240x240 px, Axial plane
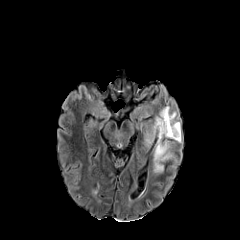
FLAIR MR.
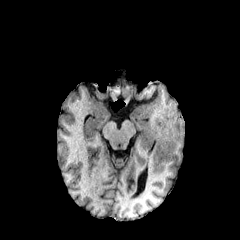
T1-weighted MR of the same slice.
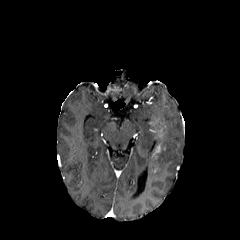
Post-contrast T1-weighted MR image.
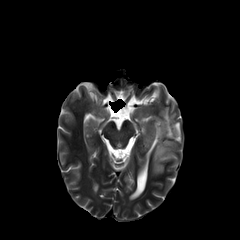
T2-weighted MRI.
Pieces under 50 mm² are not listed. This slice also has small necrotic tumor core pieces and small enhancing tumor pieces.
peritumoral edema at bbox=[152, 107, 180, 172]